Brain, Image size 240x240, Axial plane
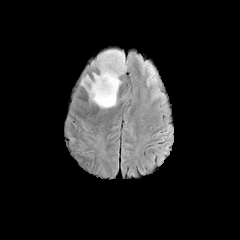
FLAIR magnetic resonance.
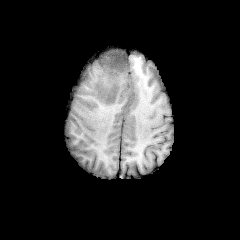
T1-weighted MRI of the same slice.
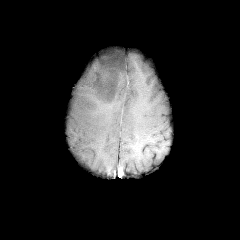
Post-contrast T1-weighted MR.
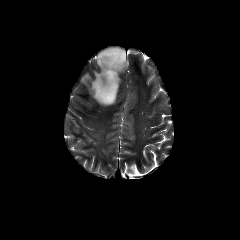
T2-weighted MRI of the same slice.
<segmentation>
  <peritumoral_edema>80, 49, 126, 109</peritumoral_edema>
</segmentation>